FLAIR MR.
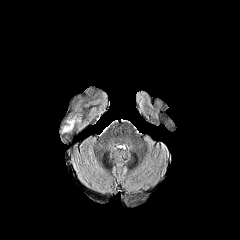
T1-weighted magnetic resonance.
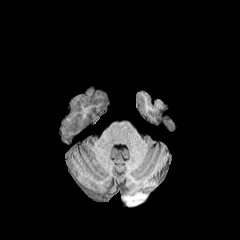
Post-contrast T1-weighted MRI.
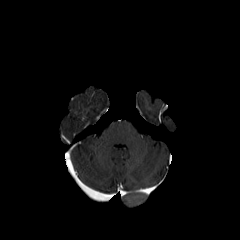
T2-weighted MR image.
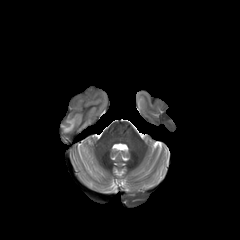
Head | Axial plane
Annotated regions:
* peritumoral edema: bbox(63, 121, 73, 131)